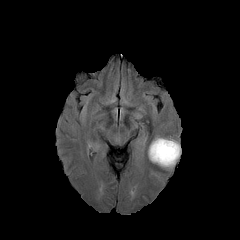
FLAIR MR image.
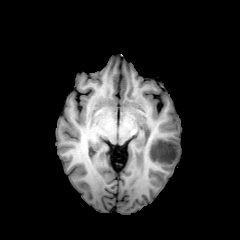
T1-weighted MR.
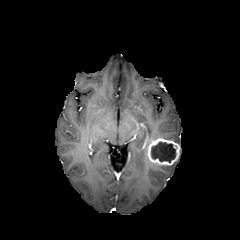
Post-contrast T1-weighted MRI of the same slice.
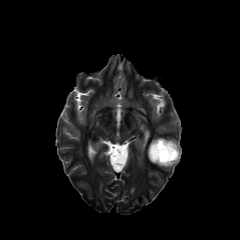
T2-weighted MR.
Brain
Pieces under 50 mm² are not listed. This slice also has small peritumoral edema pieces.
enhancing tumor: rect(147, 138, 180, 165) | necrotic tumor core: rect(151, 142, 175, 162)